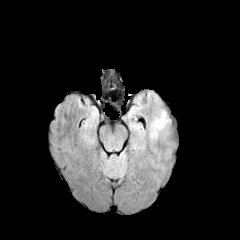
FLAIR MRI.
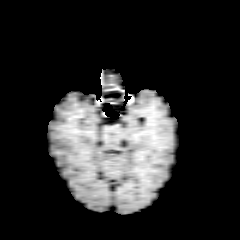
T1-weighted MRI.
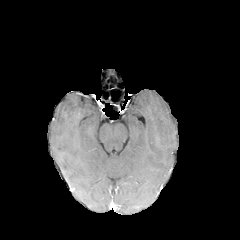
Post-contrast T1-weighted MR.
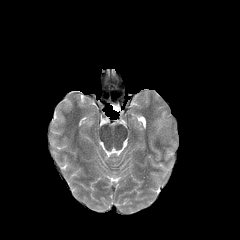
Same slice, T2-weighted MR image.
240x240 px, Brain
The peritumoral edema lies within rect(150, 111, 168, 139).